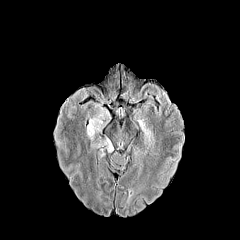
FLAIR magnetic resonance.
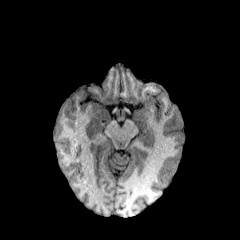
Same slice, T1-weighted MR image.
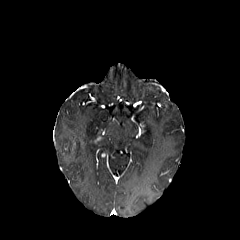
Post-contrast T1-weighted MR.
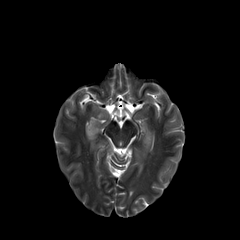
T2-weighted magnetic resonance.
Axial plane | Brain
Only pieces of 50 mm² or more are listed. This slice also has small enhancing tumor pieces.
The peritumoral edema is bounded by (x1=87, y1=117, x2=113, y2=161).